FLAIR MR image.
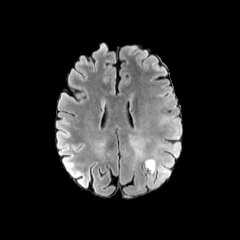
T1-weighted MRI.
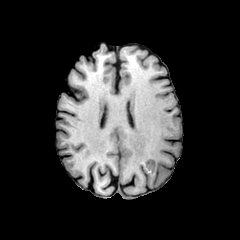
Post-contrast T1-weighted MR image.
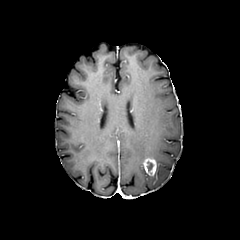
T2-weighted MR.
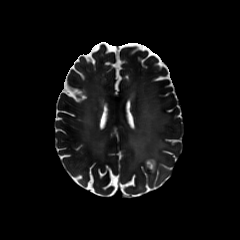
Head; Axial slice
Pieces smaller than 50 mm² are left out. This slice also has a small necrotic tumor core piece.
The largest peritumoral edema region is bounded by left=129, top=135, right=159, bottom=168. The enhancing tumor lies within left=143, top=158, right=156, bottom=175.